FLAIR MRI.
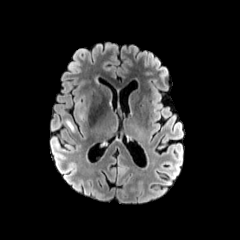
T1-weighted MRI.
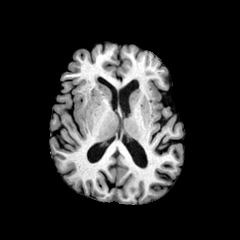
Post-contrast T1-weighted MR.
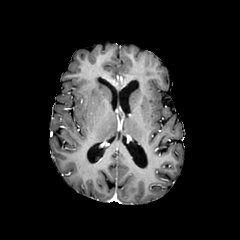
T2-weighted MR.
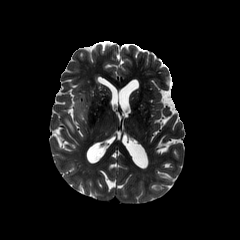
Head.
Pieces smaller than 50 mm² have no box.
peritumoral edema = bbox(64, 118, 74, 132)